Image width 240 mm; Head
FLAIR MR image.
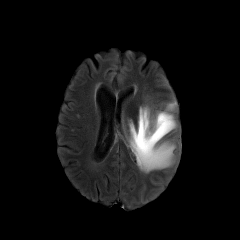
T1-weighted MR.
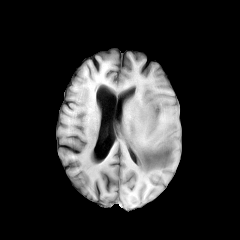
Post-contrast T1-weighted magnetic resonance.
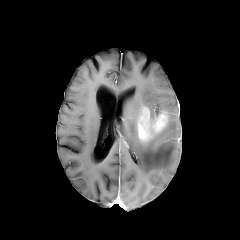
T2-weighted MR.
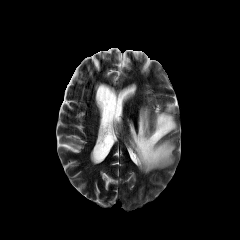
Annotated regions:
• enhancing tumor: <bbox>138, 108, 167, 139</bbox>
• peritumoral edema: <bbox>128, 101, 177, 173</bbox>